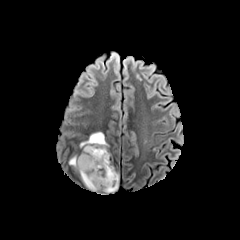
FLAIR MR.
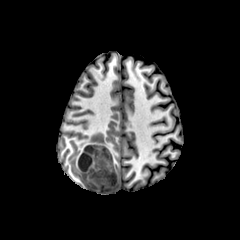
T1-weighted MR.
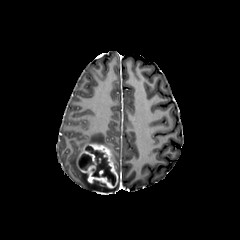
Post-contrast T1-weighted MR image of the same slice.
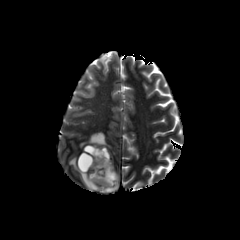
Same slice, T2-weighted MR.
Brain
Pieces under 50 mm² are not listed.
enhancing_tumor:
  - [76,144,118,188]
peritumoral_edema:
  - [69,156,118,192]
  - [80,132,109,147]
necrotic_tumor_core:
  - [78,146,115,185]